Image width 240 mm | Brain
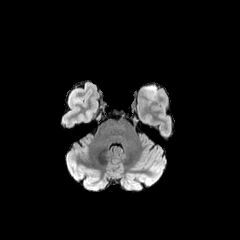
FLAIR MR image.
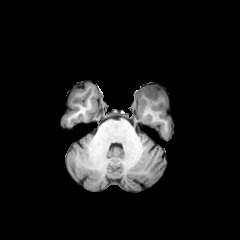
T1-weighted MR image.
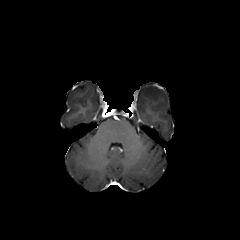
Post-contrast T1-weighted MRI.
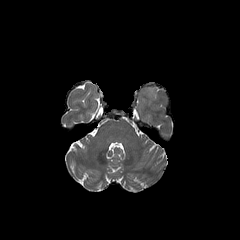
T2-weighted MRI.
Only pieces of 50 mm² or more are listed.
* peritumoral edema: bbox(146, 86, 157, 99)